240x240; Head
FLAIR MRI.
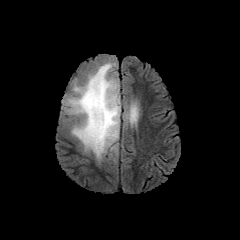
T1-weighted MRI.
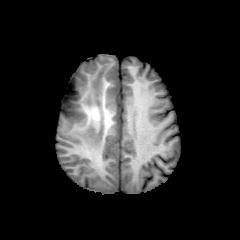
Post-contrast T1-weighted magnetic resonance.
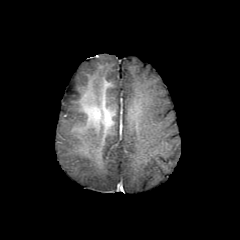
T2-weighted MR image.
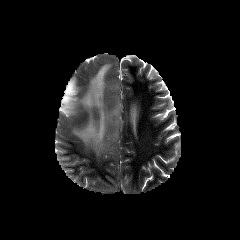
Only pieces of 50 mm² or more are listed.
peritumoral edema at left=122, top=86, right=141, bottom=127; left=62, top=60, right=120, bottom=160